FLAIR MR image.
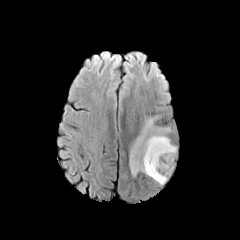
T1-weighted MR image.
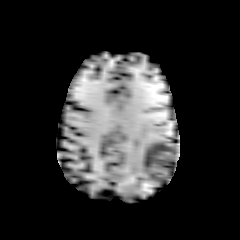
Post-contrast T1-weighted MR image.
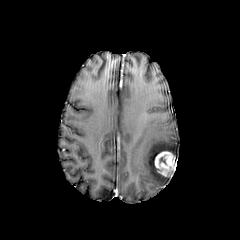
T2-weighted magnetic resonance.
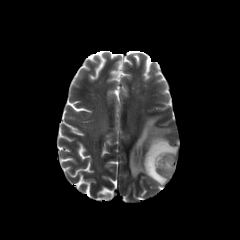
Head
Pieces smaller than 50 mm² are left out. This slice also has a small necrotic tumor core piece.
peritumoral edema: rect(130, 116, 177, 185)
enhancing tumor: rect(155, 151, 175, 176)